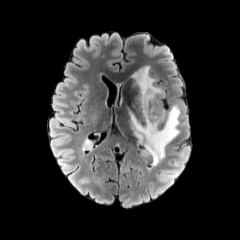
FLAIR MR.
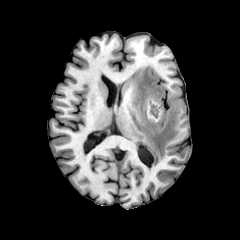
Same slice, T1-weighted MRI.
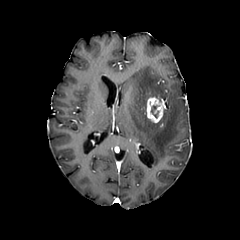
Post-contrast T1-weighted MR.
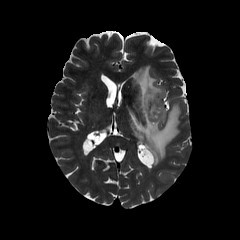
T2-weighted MR.
Head.
necrotic_tumor_core:
  - [151, 106, 158, 117]
enhancing_tumor:
  - [146, 96, 164, 122]
peritumoral_edema:
  - [129, 66, 180, 165]